FLAIR MR.
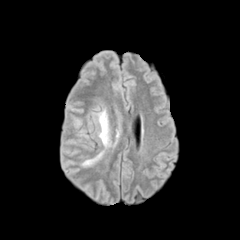
T1-weighted MRI.
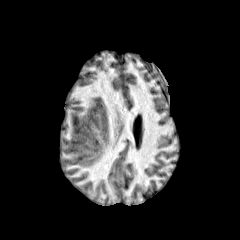
Post-contrast T1-weighted MRI.
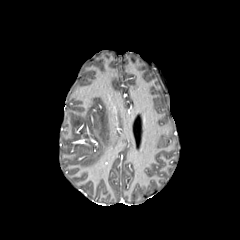
T2-weighted MR image.
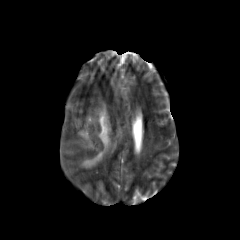
Axial view. Image size 240x240. Head.
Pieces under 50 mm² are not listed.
The 2 largest peritumoral edema regions are located at [99, 109, 110, 147], [82, 152, 103, 166].